Image size 240x240. Brain.
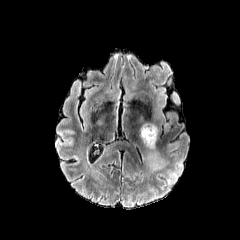
FLAIR MR image.
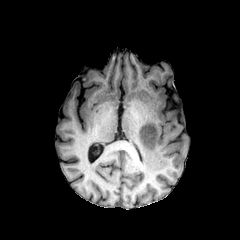
T1-weighted MR image.
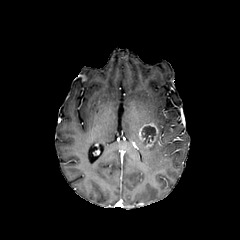
Post-contrast T1-weighted magnetic resonance.
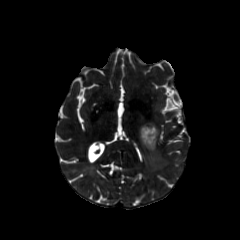
T2-weighted MR.
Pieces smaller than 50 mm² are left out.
enhancing tumor: left=139, top=122, right=158, bottom=149
necrotic tumor core: left=142, top=126, right=155, bottom=142
peritumoral edema: left=148, top=153, right=159, bottom=169